Axial view | Slice 46 of 155 | 240x240
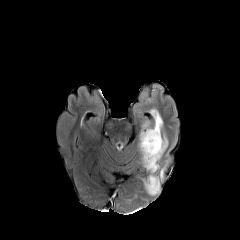
FLAIR MR image.
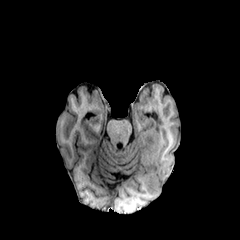
T1-weighted magnetic resonance of the same slice.
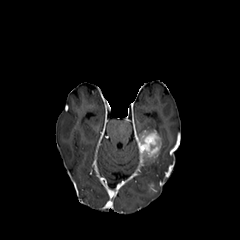
Same slice, post-contrast T1-weighted MR.
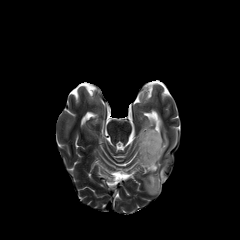
T2-weighted magnetic resonance.
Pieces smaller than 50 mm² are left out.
2 enhancing tumor regions appear at l=148, t=183, r=156, b=191; l=139, t=130, r=161, b=163. The 3 largest peritumoral edema regions are located at l=145, t=175, r=159, b=194; l=144, t=139, r=166, b=171; l=145, t=111, r=162, b=136.